FLAIR MRI.
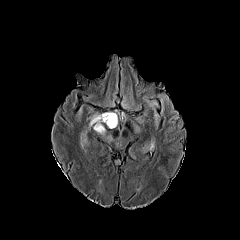
T1-weighted MRI.
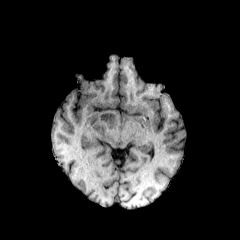
Post-contrast T1-weighted magnetic resonance.
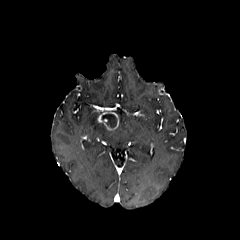
T2-weighted MRI.
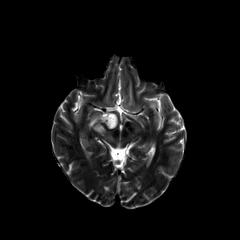
Brain | 240x240 px | Axial plane
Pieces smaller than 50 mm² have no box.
The enhancing tumor is at 97, 111, 118, 129. The necrotic tumor core is at 102, 114, 116, 127. The largest peritumoral edema region lies within 89, 114, 105, 134.